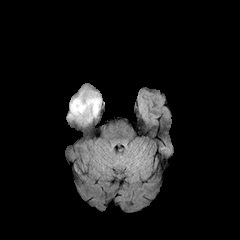
FLAIR MR.
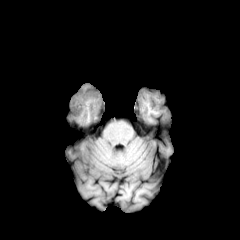
T1-weighted MR image.
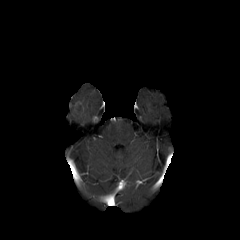
Post-contrast T1-weighted MR.
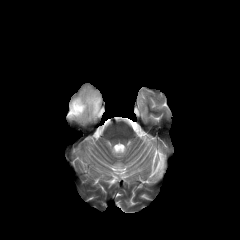
T2-weighted MRI of the same slice.
Axial view
<segmentation>
  <enhancing_tumor>[69, 101, 83, 115]</enhancing_tumor>
  <peritumoral_edema>[68, 87, 101, 122]</peritumoral_edema>
</segmentation>